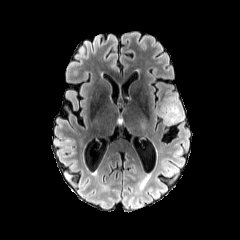
FLAIR MR.
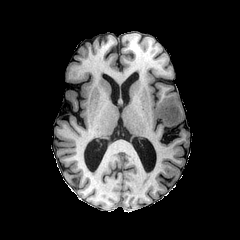
T1-weighted MR image.
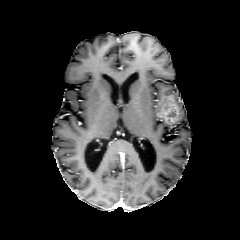
Post-contrast T1-weighted MR image of the same slice.
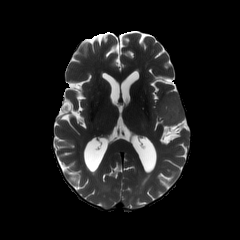
T2-weighted magnetic resonance.
Axial slice; Brain; 240x240
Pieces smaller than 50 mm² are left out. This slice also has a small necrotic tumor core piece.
peritumoral edema: bounding box box=[172, 94, 184, 121]
enhancing tumor: bounding box box=[156, 95, 181, 124]